FLAIR MRI.
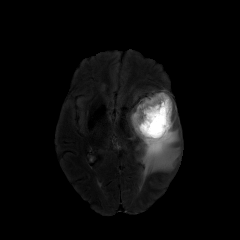
T1-weighted MRI.
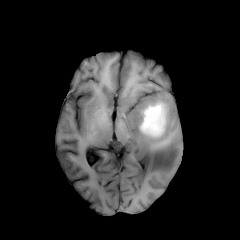
Post-contrast T1-weighted MR.
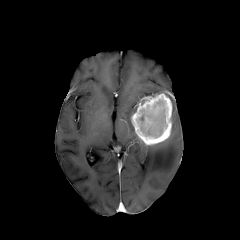
T2-weighted magnetic resonance.
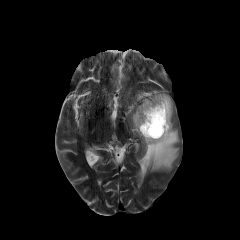
Brain. 240x240 px.
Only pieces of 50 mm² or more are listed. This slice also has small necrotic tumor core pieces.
enhancing tumor: 131:93:172:145
peritumoral edema: 129:104:137:136, 137:89:179:179